Brain, Image size 240x240
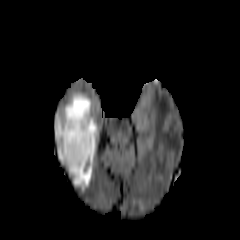
FLAIR MR image.
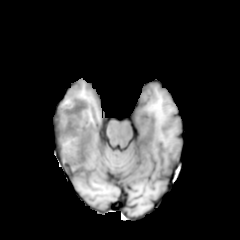
T1-weighted MR.
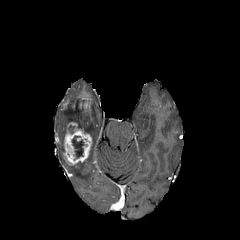
Post-contrast T1-weighted MRI.
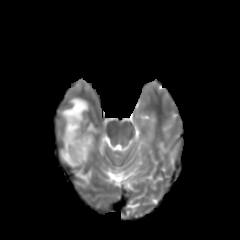
T2-weighted magnetic resonance.
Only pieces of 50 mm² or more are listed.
Segmented structures:
• enhancing tumor: [63, 121, 91, 165]
• necrotic tumor core: [72, 135, 84, 157]
• peritumoral edema: [55, 91, 97, 191]